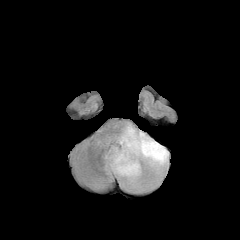
FLAIR magnetic resonance.
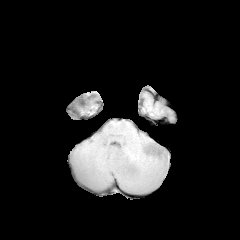
T1-weighted MR.
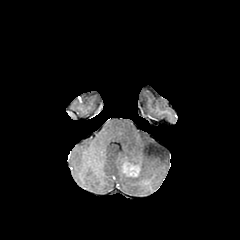
Post-contrast T1-weighted MR image of the same slice.
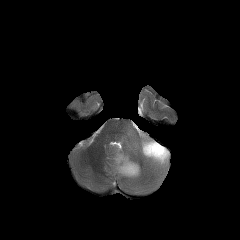
T2-weighted MR.
peritumoral edema — <bbox>105, 124, 169, 192</bbox>
enhancing tumor — <bbox>121, 160, 139, 176</bbox>